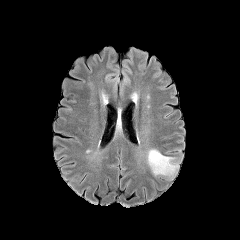
FLAIR MR.
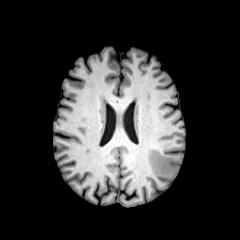
T1-weighted MRI.
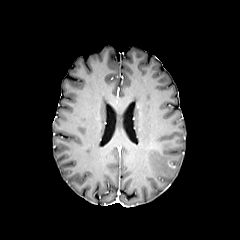
Post-contrast T1-weighted MRI.
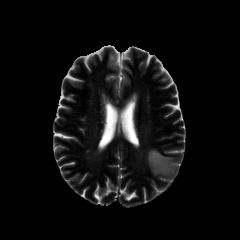
T2-weighted MRI.
Brain.
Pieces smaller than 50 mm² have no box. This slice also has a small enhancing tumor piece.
peritumoral edema: bbox(147, 149, 182, 179)